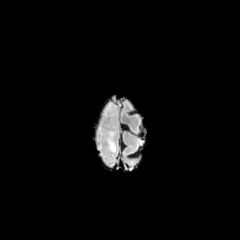
FLAIR MR.
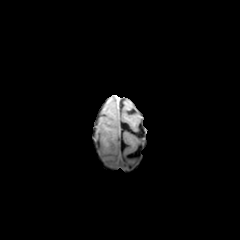
Same slice, T1-weighted MR.
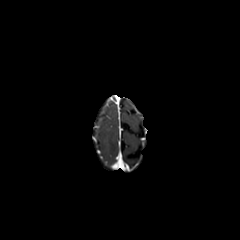
Post-contrast T1-weighted magnetic resonance.
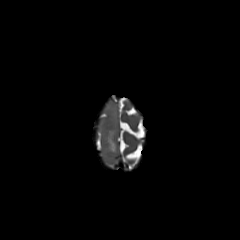
T2-weighted MR image of the same slice.
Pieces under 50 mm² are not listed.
peritumoral edema at [106,131,116,152]